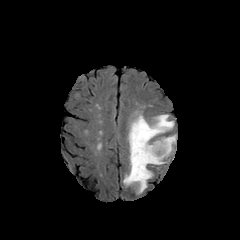
FLAIR MR.
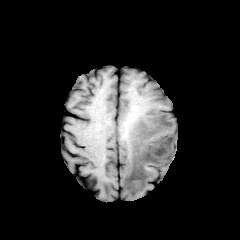
T1-weighted magnetic resonance.
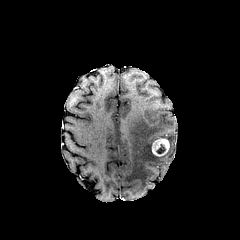
Post-contrast T1-weighted MR.
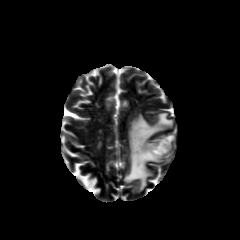
T2-weighted magnetic resonance of the same slice.
Axial slice
{"necrotic_tumor_core": ["x1=156 y1=144 x2=165 y2=153"], "peritumoral_edema": ["x1=123 y1=114 x2=176 y2=192"], "enhancing_tumor": ["x1=151 y1=138 x2=169 y2=156"]}